Image size 240x240; Brain
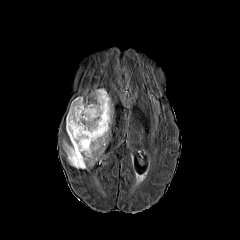
FLAIR MR.
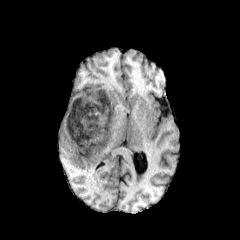
T1-weighted MR image of the same slice.
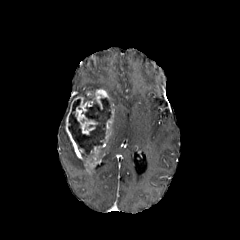
Post-contrast T1-weighted MR image of the same slice.
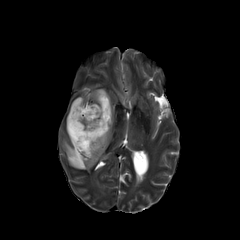
T2-weighted magnetic resonance of the same slice.
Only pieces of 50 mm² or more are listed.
enhancing tumor — box=[66, 89, 114, 167]
necrotic tumor core — box=[68, 98, 111, 157]
peritumoral edema — box=[63, 140, 88, 168]